FLAIR MR image.
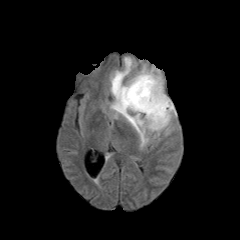
T1-weighted MR image.
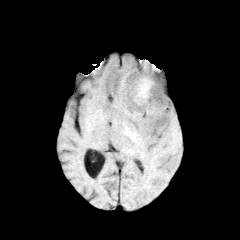
Post-contrast T1-weighted MRI.
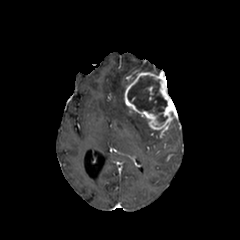
T2-weighted MR.
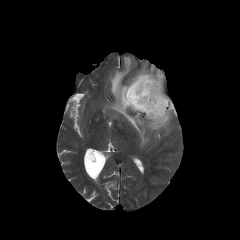
Axial plane
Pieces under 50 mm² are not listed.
{
  "enhancing_tumor": [
    "<bbox>124, 71, 176, 130</bbox>"
  ],
  "necrotic_tumor_core": [
    "<bbox>128, 76, 166, 114</bbox>",
    "<bbox>158, 114, 167, 122</bbox>"
  ],
  "peritumoral_edema": [
    "<bbox>142, 66, 161, 73</bbox>",
    "<bbox>110, 57, 154, 147</bbox>"
  ]
}